Axial slice, Slice 55 of 155, Image width 240 mm, 1.00 mm slice spacing
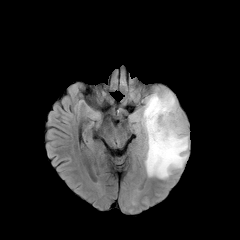
FLAIR MR.
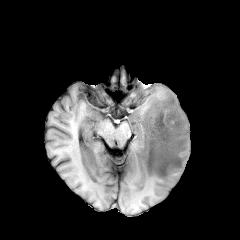
T1-weighted MR image of the same slice.
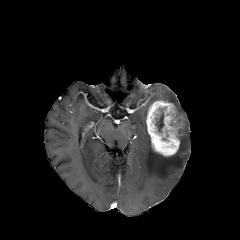
Post-contrast T1-weighted MR image.
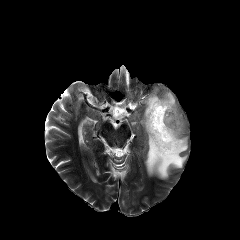
T2-weighted MRI.
{
  "necrotic_tumor_core": [
    "x1=156 y1=113 x2=163 y2=131"
  ],
  "peritumoral_edema": [
    "x1=133 y1=89 x2=188 y2=179"
  ],
  "enhancing_tumor": [
    "x1=146 y1=100 x2=184 y2=156"
  ]
}